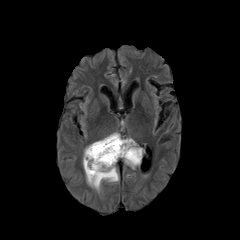
FLAIR magnetic resonance.
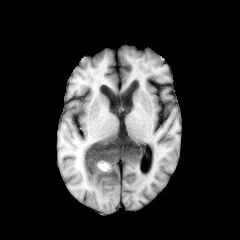
T1-weighted MR image of the same slice.
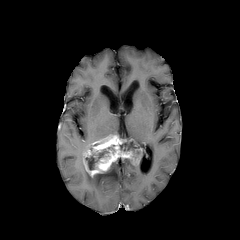
Same slice, post-contrast T1-weighted MR.
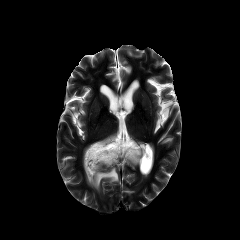
T2-weighted MRI of the same slice.
Head
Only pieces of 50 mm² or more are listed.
* enhancing tumor: x1=83 y1=134 x2=143 y2=177
* peritumoral edema: x1=123 y1=159 x2=140 y2=169, x1=85 y1=162 x2=119 y2=192
* necrotic tumor core: x1=85 y1=150 x2=108 y2=169, x1=120 y1=141 x2=137 y2=150